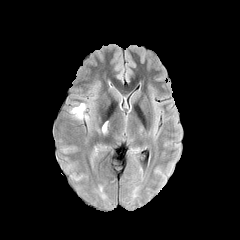
FLAIR MR.
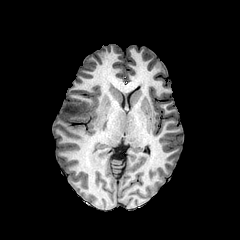
Same slice, T1-weighted MR image.
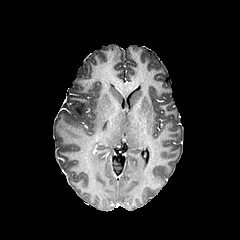
Post-contrast T1-weighted MRI.
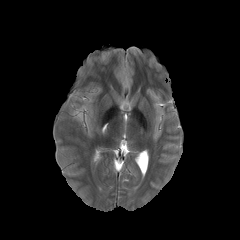
T2-weighted magnetic resonance.
Axial view | Brain
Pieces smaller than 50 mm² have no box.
* peritumoral edema: bbox(71, 103, 87, 119)